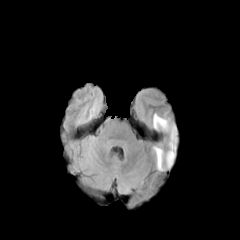
FLAIR magnetic resonance.
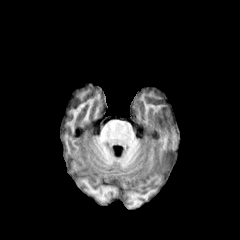
Same slice, T1-weighted MR.
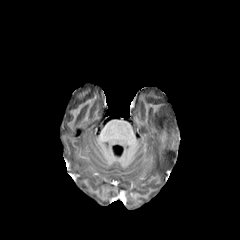
Same slice, post-contrast T1-weighted MR image.
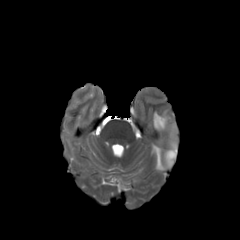
T2-weighted magnetic resonance.
Image size 240x240; Head
<segmentation>
  <peritumoral_edema>bbox=[153, 113, 176, 170]</peritumoral_edema>
</segmentation>